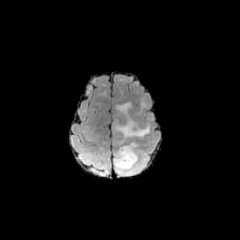
FLAIR magnetic resonance.
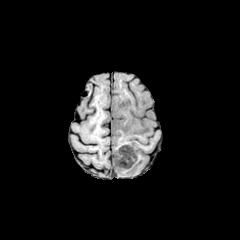
T1-weighted MR image of the same slice.
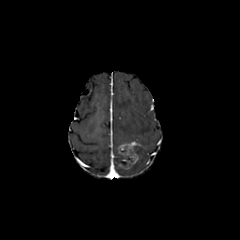
Post-contrast T1-weighted MRI of the same slice.
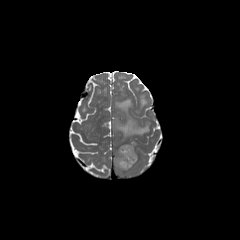
Same slice, T2-weighted MR.
Head; Axial slice
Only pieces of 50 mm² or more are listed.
The largest necrotic tumor core region appears at box=[121, 155, 132, 166]. The enhancing tumor is at box=[117, 141, 140, 169]. The 2 largest peritumoral edema regions are bounded by box=[113, 150, 146, 175]; box=[114, 101, 149, 145].